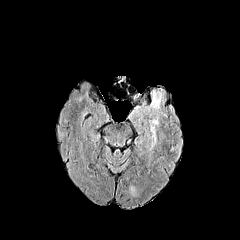
FLAIR MR.
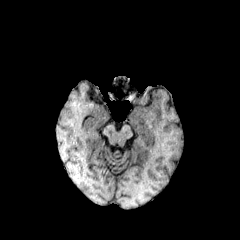
Same slice, T1-weighted MRI.
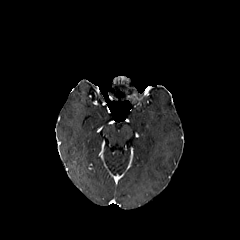
Post-contrast T1-weighted MR.
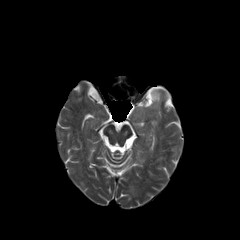
Same slice, T2-weighted MRI.
240x240 px.
peritumoral edema: bbox=[151, 119, 158, 142]; bbox=[151, 97, 159, 108]